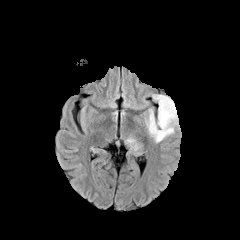
FLAIR magnetic resonance.
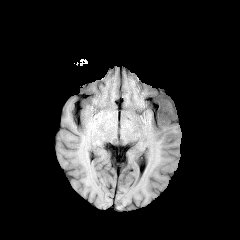
Same slice, T1-weighted MRI.
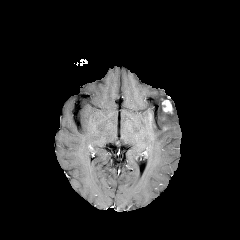
Post-contrast T1-weighted MRI.
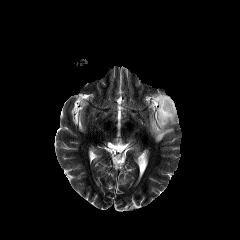
T2-weighted MR.
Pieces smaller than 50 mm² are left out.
The largest enhancing tumor region is at bbox(161, 99, 173, 113). 2 peritumoral edema regions appear at bbox(145, 94, 178, 142); bbox(125, 137, 139, 151).